FLAIR MR.
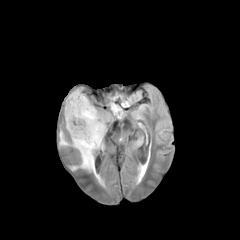
T1-weighted MRI.
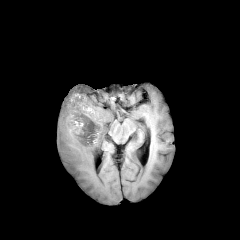
Post-contrast T1-weighted MR image.
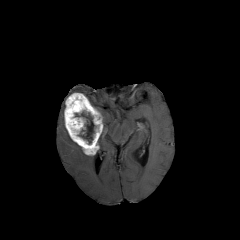
T2-weighted MR image.
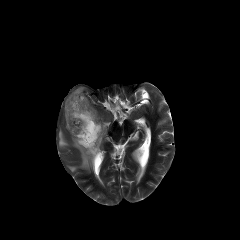
240x240; Brain
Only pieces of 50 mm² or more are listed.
The necrotic tumor core is located at <bbox>75, 111, 94, 143</bbox>. The 2 largest peritumoral edema regions are located at <bbox>98, 117, 106, 148</bbox>, <bbox>59, 130, 94, 172</bbox>. The enhancing tumor is bounded by <bbox>64, 92, 103, 155</bbox>.